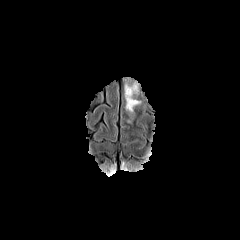
FLAIR MR.
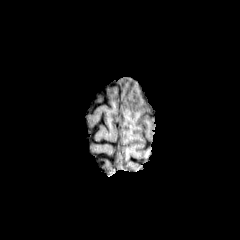
T1-weighted MR of the same slice.
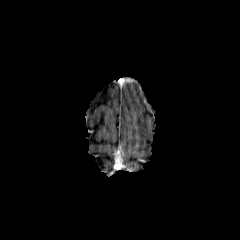
Post-contrast T1-weighted MR of the same slice.
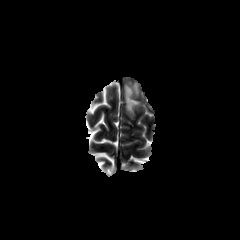
T2-weighted MR.
Brain.
peritumoral edema at 125:84:139:112